FLAIR MRI.
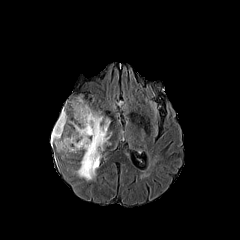
T1-weighted MR image.
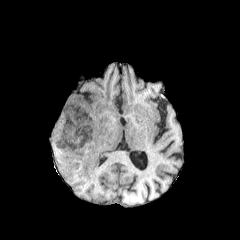
Post-contrast T1-weighted MR image.
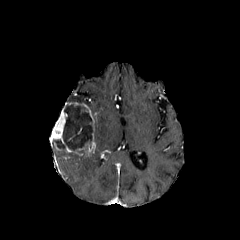
T2-weighted magnetic resonance.
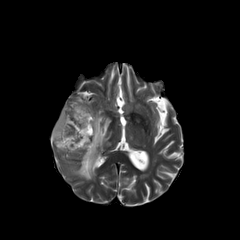
Head
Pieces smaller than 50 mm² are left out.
The 2 largest necrotic tumor core regions appear at 63 104 95 150, 54 140 65 150. The largest peritumoral edema region is bounded by 77 112 110 180. The largest enhancing tumor region is located at 50 102 95 156.